240x240 px. Head.
FLAIR MRI.
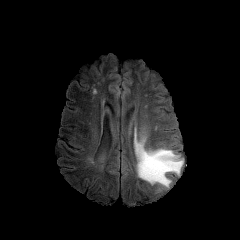
T1-weighted MR image.
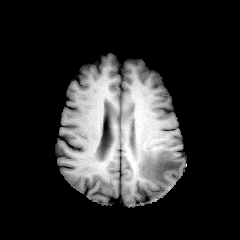
Post-contrast T1-weighted magnetic resonance.
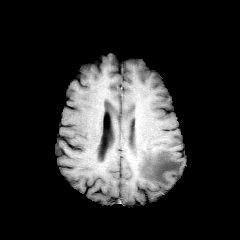
T2-weighted MR.
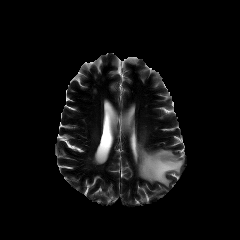
peritumoral_edema:
  - 135,139,183,186